FLAIR magnetic resonance.
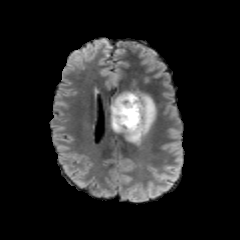
T1-weighted MR.
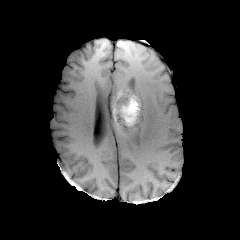
Post-contrast T1-weighted MRI.
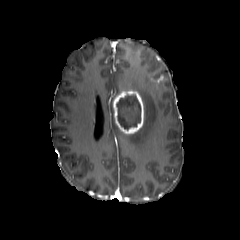
T2-weighted magnetic resonance.
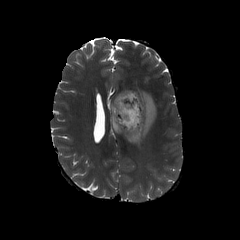
Brain
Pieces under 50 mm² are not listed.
<segmentation>
  <enhancing_tumor><bbox>113, 91, 144, 134</bbox></enhancing_tumor>
  <necrotic_tumor_core><bbox>116, 95, 140, 129</bbox></necrotic_tumor_core>
  <peritumoral_edema><bbox>111, 90, 156, 144</bbox></peritumoral_edema>
</segmentation>